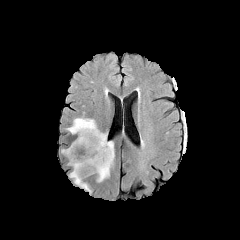
FLAIR MRI.
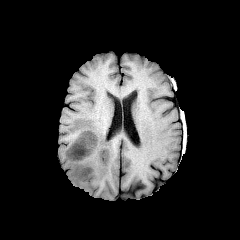
T1-weighted MR image.
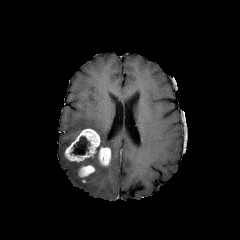
Post-contrast T1-weighted MR.
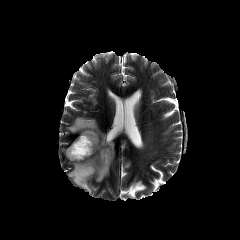
T2-weighted MR.
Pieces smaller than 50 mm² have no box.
enhancing tumor: [x1=65, y1=129, x2=110, y2=166], [x1=76, y1=164, x2=95, y2=182] | necrotic tumor core: [x1=71, y1=136, x2=90, y2=155] | peritumoral edema: [x1=67, y1=118, x2=114, y2=193]